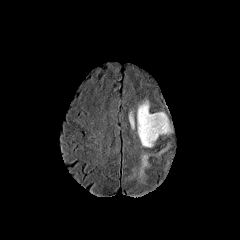
FLAIR MRI.
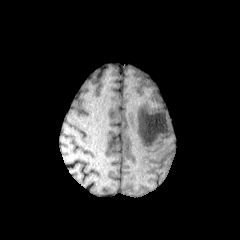
T1-weighted magnetic resonance of the same slice.
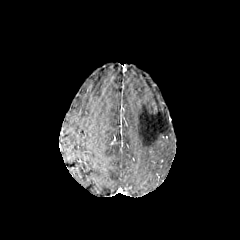
Post-contrast T1-weighted magnetic resonance.
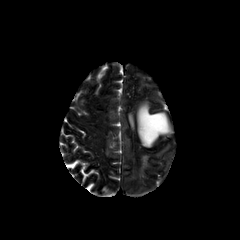
T2-weighted MR image of the same slice.
Axial slice
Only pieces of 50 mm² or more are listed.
peritumoral edema: box(129, 113, 134, 128); box(129, 150, 151, 180); box(137, 100, 171, 147)